FLAIR magnetic resonance.
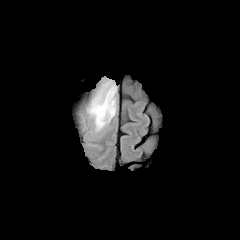
T1-weighted magnetic resonance.
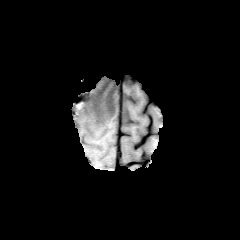
Post-contrast T1-weighted MR image.
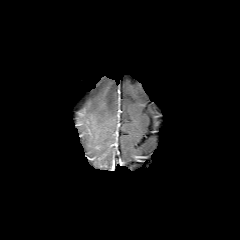
T2-weighted MR.
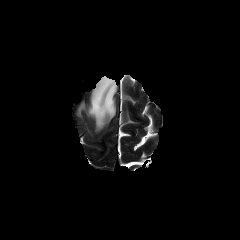
Axial view
Segmented structures:
* peritumoral edema: 87, 78, 116, 131